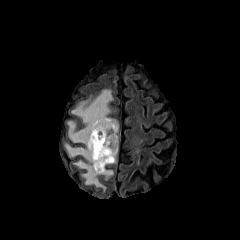
FLAIR MR image.
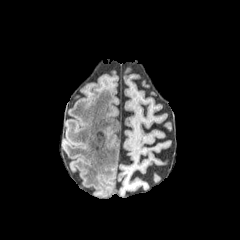
T1-weighted MRI.
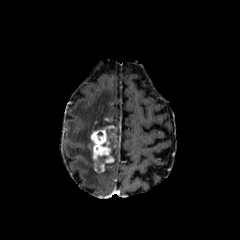
Same slice, post-contrast T1-weighted MR image.
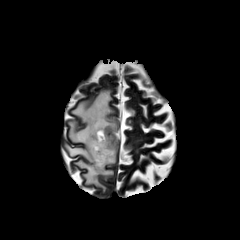
T2-weighted MR.
Axial plane; Brain
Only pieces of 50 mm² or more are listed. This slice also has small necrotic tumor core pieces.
The 2 largest peritumoral edema regions are located at x1=65, y1=89, x2=113, y2=192; x1=110, y1=138, x2=118, y2=163. The largest enhancing tumor region is bounded by x1=88, y1=125, x2=119, y2=172.